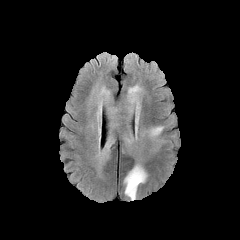
FLAIR magnetic resonance.
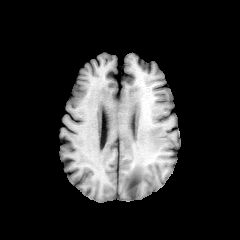
T1-weighted magnetic resonance.
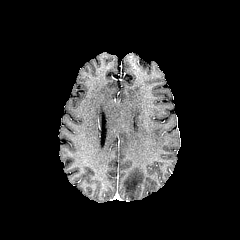
Same slice, post-contrast T1-weighted MR.
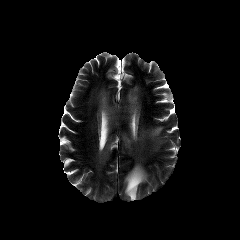
T2-weighted MRI.
Axial view. Brain.
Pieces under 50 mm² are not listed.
Segmented structures:
• peritumoral edema: (127, 85, 141, 139), (148, 126, 163, 141), (124, 164, 147, 200), (97, 98, 103, 121), (99, 89, 109, 97), (105, 137, 112, 150)